FLAIR MR.
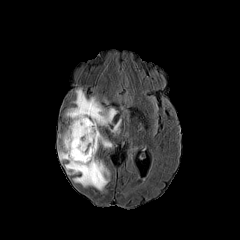
T1-weighted magnetic resonance.
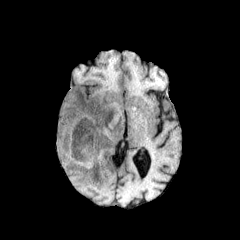
Post-contrast T1-weighted MR image.
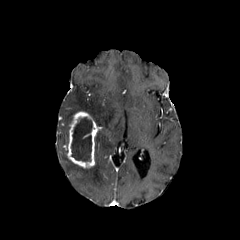
T2-weighted MR image.
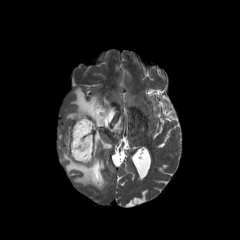
Head
peritumoral edema — l=94, t=131, r=112, b=157; l=112, t=119, r=120, b=132; l=59, t=126, r=109, b=190; l=66, t=88, r=116, b=126
enhancing tumor — l=67, t=111, r=98, b=168
necrotic tumor core — l=71, t=117, r=92, b=161